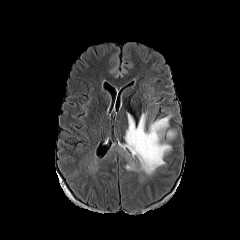
FLAIR magnetic resonance.
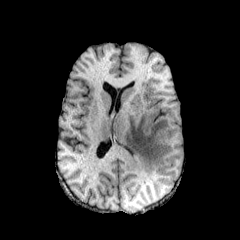
T1-weighted MR image.
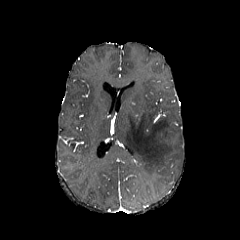
Post-contrast T1-weighted MR image.
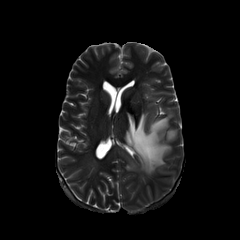
T2-weighted magnetic resonance.
Axial plane, Head
peritumoral edema — rect(167, 130, 175, 139); rect(124, 112, 171, 174)